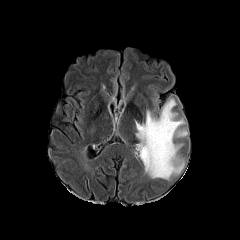
FLAIR MRI.
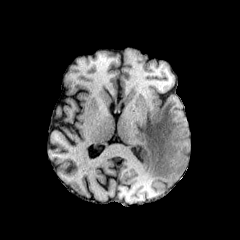
T1-weighted MR.
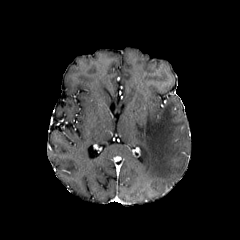
Same slice, post-contrast T1-weighted MR image.
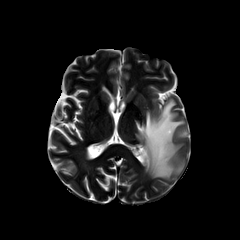
T2-weighted magnetic resonance of the same slice.
240x240; Head
Segmented structures:
• peritumoral edema: (134,98,187,180)